FLAIR MRI.
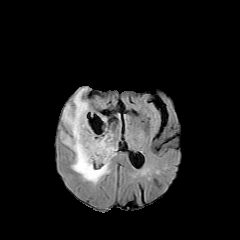
T1-weighted magnetic resonance.
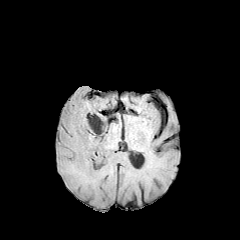
Post-contrast T1-weighted magnetic resonance.
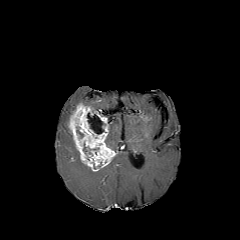
T2-weighted MR.
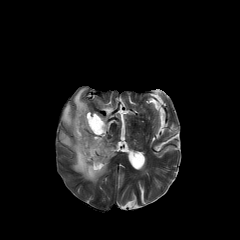
Head; Axial view
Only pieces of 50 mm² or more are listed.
peritumoral edema: bounding box (left=106, top=136, right=117, bottom=151), (left=60, top=130, right=109, bottom=184), (left=62, top=87, right=88, bottom=130)
necrotic tumor core: bounding box (left=87, top=112, right=104, bottom=134)
enhancing tumor: bounding box (left=67, top=102, right=116, bottom=171)